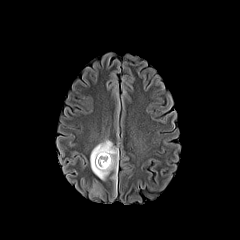
FLAIR magnetic resonance.
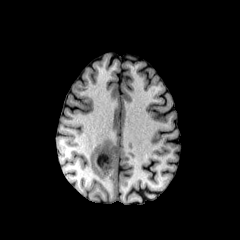
T1-weighted MR.
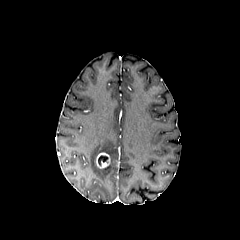
Same slice, post-contrast T1-weighted MR.
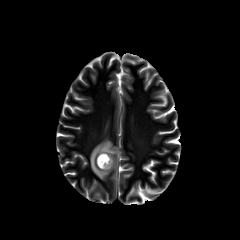
Same slice, T2-weighted MR image.
Axial slice, 240x240 px, Head
Annotated regions:
• necrotic tumor core: (98,155,108,165)
• enhancing tumor: (96,152,110,168)
• peritumoral edema: (90,138,117,184)